Slice 111/155 | Axial slice | Head | Image width 240 mm, 1.00 mm slice spacing
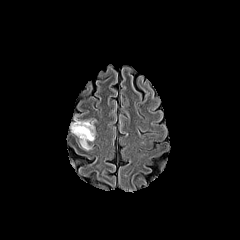
FLAIR MR.
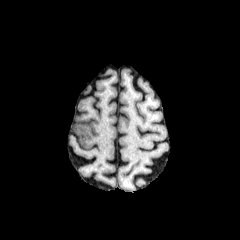
Same slice, T1-weighted MRI.
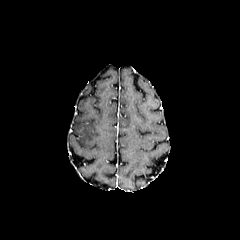
Post-contrast T1-weighted MR image.
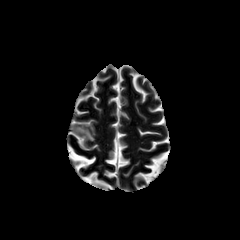
T2-weighted MRI of the same slice.
peritumoral edema = (x1=71, y1=119, x2=95, y2=150)